FLAIR magnetic resonance.
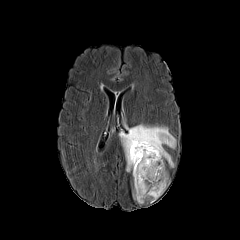
T1-weighted MR image.
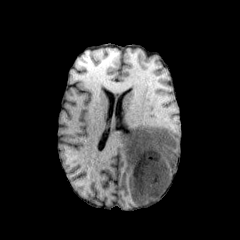
Post-contrast T1-weighted MR image.
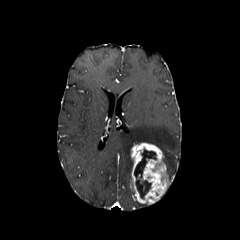
T2-weighted MR.
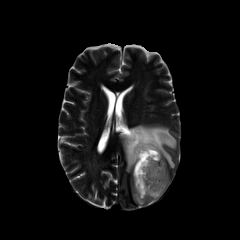
The peritumoral edema lies within 121, 124, 176, 172. The necrotic tumor core is at 134, 149, 156, 197. The enhancing tumor appears at 130, 142, 169, 204.